FLAIR MR image.
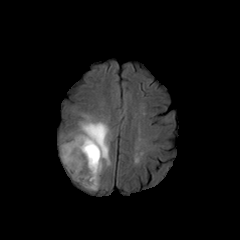
T1-weighted MRI.
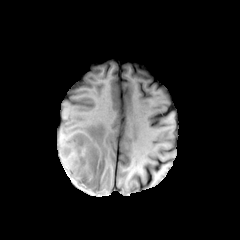
Post-contrast T1-weighted MRI.
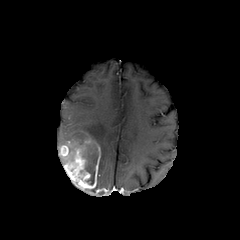
T2-weighted magnetic resonance.
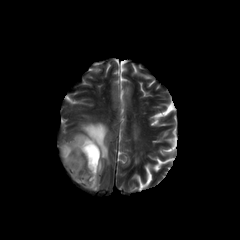
Brain
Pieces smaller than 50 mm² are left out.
The 2 largest enhancing tumor regions are bounded by [64, 136, 100, 189], [60, 145, 69, 157]. 2 peritumoral edema regions appear at [59, 140, 76, 165], [72, 115, 110, 190]. The necrotic tumor core lies within [85, 148, 97, 184].